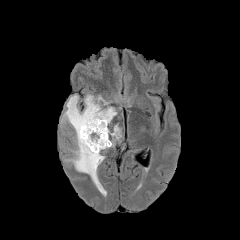
FLAIR MRI.
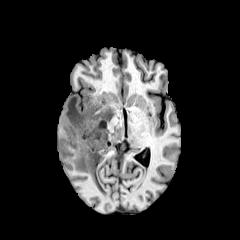
Same slice, T1-weighted MR image.
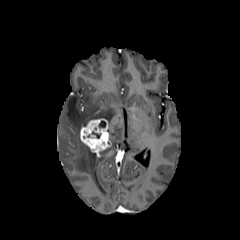
Same slice, post-contrast T1-weighted MRI.
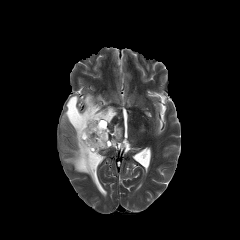
T2-weighted magnetic resonance.
Head.
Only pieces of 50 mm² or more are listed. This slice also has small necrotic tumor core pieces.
{
  "peritumoral_edema": [
    "(107,125,121,146)",
    "(61,94,116,194)"
  ],
  "enhancing_tumor": [
    "(80,118,111,156)"
  ]
}